FLAIR MR image.
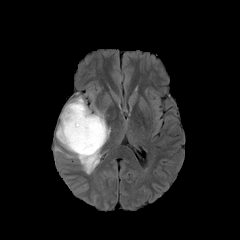
T1-weighted magnetic resonance.
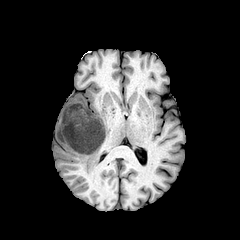
Post-contrast T1-weighted MR.
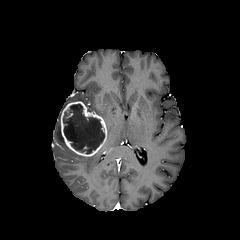
T2-weighted MRI.
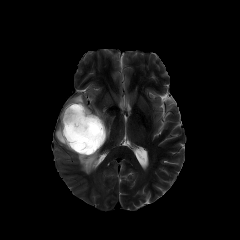
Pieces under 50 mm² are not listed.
Annotated regions:
• peritumoral edema: (69, 95, 85, 104), (56, 121, 100, 174), (94, 108, 105, 122)
• necrotic tumor core: (63, 104, 104, 153)
• enhancing tumor: (61, 101, 107, 156)